FLAIR magnetic resonance.
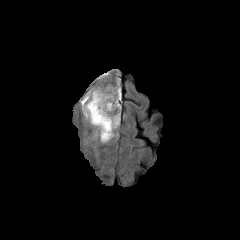
T1-weighted magnetic resonance.
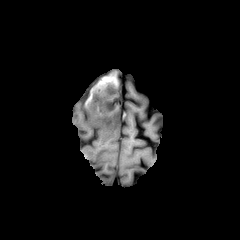
Post-contrast T1-weighted MR image.
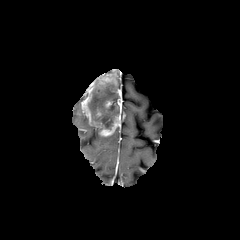
T2-weighted MRI.
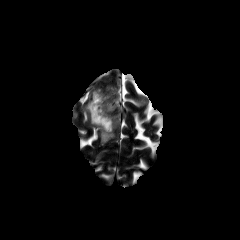
Image size 240x240. Axial plane.
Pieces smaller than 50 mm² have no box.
necrotic tumor core — left=88, top=82, right=119, bottom=129
enhancing tumor — left=81, top=73, right=121, bottom=136
peritumoral edema — left=95, top=129, right=117, bottom=143